FLAIR magnetic resonance.
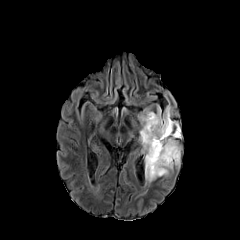
T1-weighted MR image.
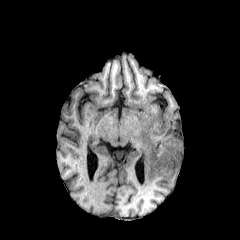
Post-contrast T1-weighted MR image.
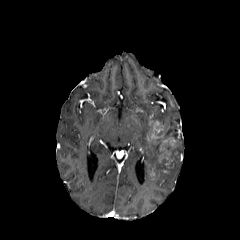
T2-weighted MR.
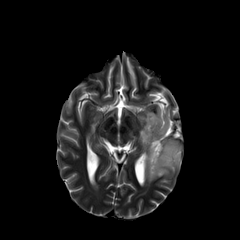
Head, Axial slice
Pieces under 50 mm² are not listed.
<segmentation>
  <peritumoral_edema>{"x1": 139, "y1": 106, "x2": 180, "y2": 182}</peritumoral_edema>
  <enhancing_tumor>{"x1": 162, "y1": 137, "x2": 177, "y2": 146}, {"x1": 147, "y1": 115, "x2": 170, "y2": 141}, {"x1": 165, "y1": 150, "x2": 172, "y2": 164}</enhancing_tumor>
  <necrotic_tumor_core>{"x1": 148, "y1": 121, "x2": 178, "y2": 178}</necrotic_tumor_core>
</segmentation>